FLAIR MR image.
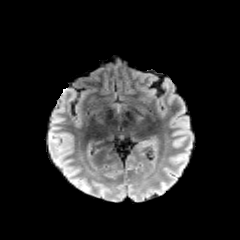
T1-weighted MR.
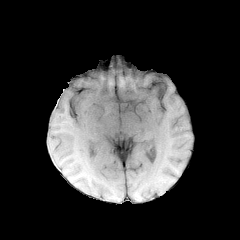
Post-contrast T1-weighted MR.
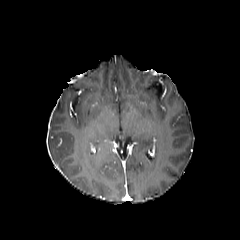
T2-weighted MRI.
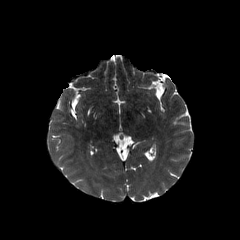
240x240 | Axial plane | Brain
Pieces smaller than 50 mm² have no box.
peritumoral edema: box=[71, 179, 86, 190]